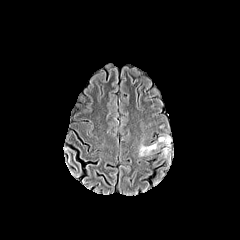
FLAIR magnetic resonance.
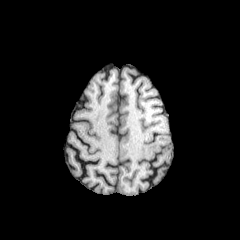
T1-weighted MR image.
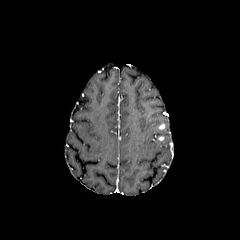
Post-contrast T1-weighted MR image.
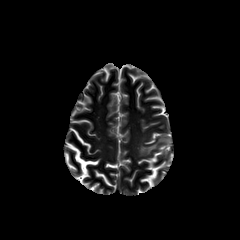
Same slice, T2-weighted MR.
Axial plane
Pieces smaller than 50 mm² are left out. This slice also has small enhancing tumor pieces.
- peritumoral edema: 159:136:170:156, 140:143:157:155